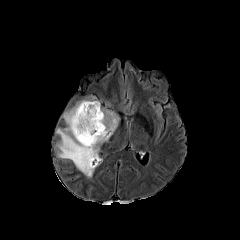
FLAIR MR.
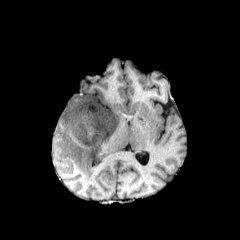
T1-weighted MR.
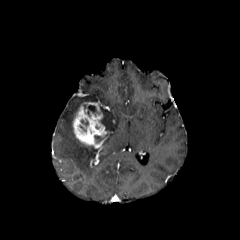
Same slice, post-contrast T1-weighted MR image.
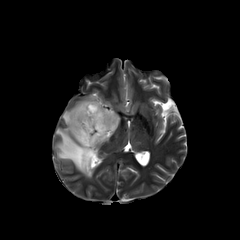
T2-weighted MR image.
Head; Axial plane
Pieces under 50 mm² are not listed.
The 2 largest enhancing tumor regions are bounded by box(90, 156, 98, 167); box(72, 102, 108, 147). The 2 largest necrotic tumor core regions appear at box(95, 136, 103, 144); box(87, 105, 96, 115). The 2 largest peritumoral edema regions are located at box(55, 95, 102, 177); box(100, 103, 119, 142).